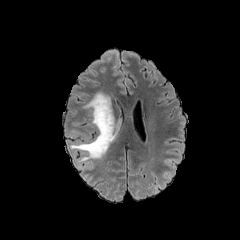
FLAIR MRI.
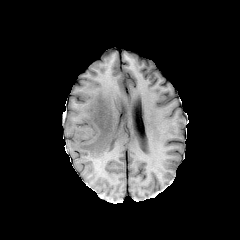
T1-weighted magnetic resonance.
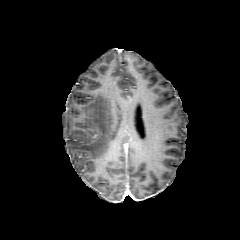
Post-contrast T1-weighted MR.
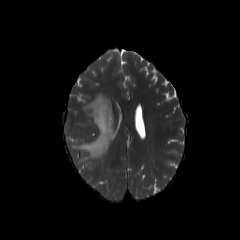
T2-weighted MR.
Image size 240x240
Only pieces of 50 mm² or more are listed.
peritumoral edema: bounding box {"x1": 69, "y1": 92, "x2": 119, "y2": 164}